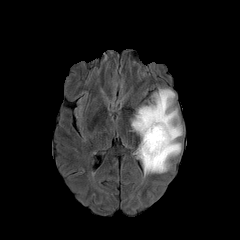
FLAIR magnetic resonance.
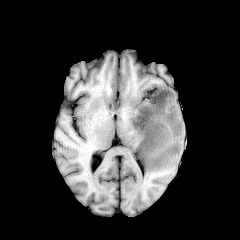
T1-weighted MRI.
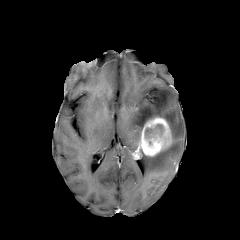
Post-contrast T1-weighted MRI of the same slice.
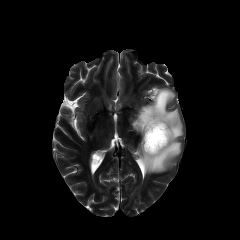
T2-weighted MRI.
Axial slice
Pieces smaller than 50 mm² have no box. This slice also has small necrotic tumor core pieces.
The enhancing tumor lies within l=135, t=116, r=172, b=157. The peritumoral edema is bounded by l=131, t=88, r=183, b=174.